Brain; Slice index 57
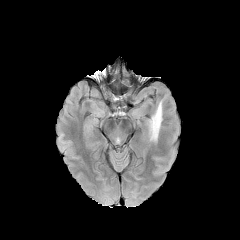
FLAIR magnetic resonance.
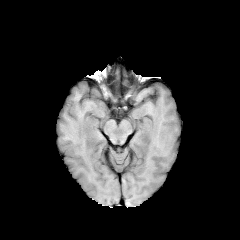
T1-weighted magnetic resonance.
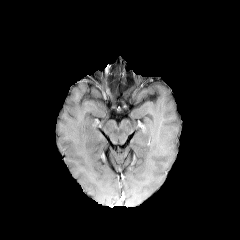
Same slice, post-contrast T1-weighted MRI.
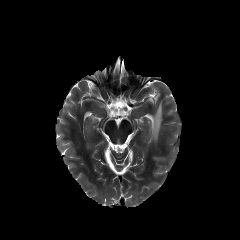
T2-weighted MR.
peritumoral edema: rect(148, 101, 162, 141)